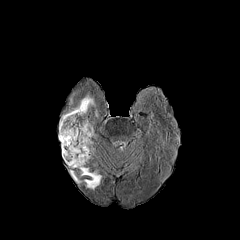
FLAIR MRI.
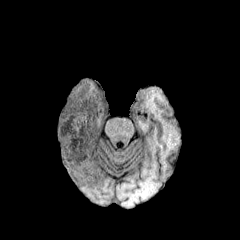
T1-weighted magnetic resonance of the same slice.
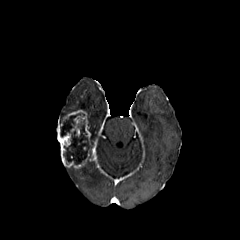
Same slice, post-contrast T1-weighted magnetic resonance.
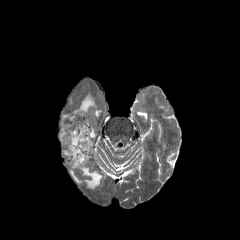
T2-weighted MR.
Axial plane
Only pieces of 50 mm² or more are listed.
enhancing tumor: bounding box (x1=58, y1=110, x2=90, y2=168)
peritumoral edema: bounding box (x1=70, y1=170, x2=81, y2=183), (x1=73, y1=95, x2=94, y2=111), (x1=79, y1=167, x2=101, y2=189)
necrotic tumor core: bounding box (x1=63, y1=123, x2=91, y2=164), (x1=60, y1=113, x2=80, y2=136)